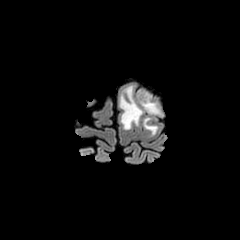
FLAIR MR image.
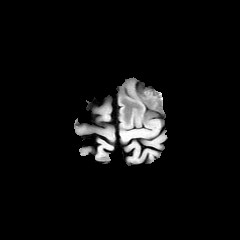
T1-weighted MRI.
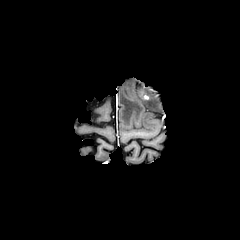
Post-contrast T1-weighted MRI.
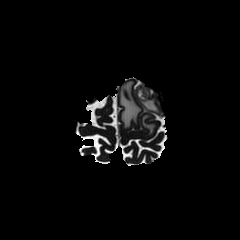
T2-weighted MR image.
Image size 240x240 | Brain | Axial plane
enhancing tumor: (x1=139, y1=91, x2=148, y2=99) | peritumoral edema: (x1=142, y1=116, x2=157, y2=134), (x1=119, y1=84, x2=160, y2=129)